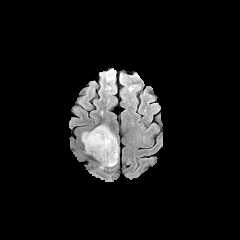
FLAIR MR image.
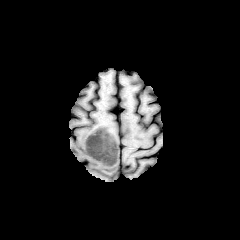
Same slice, T1-weighted magnetic resonance.
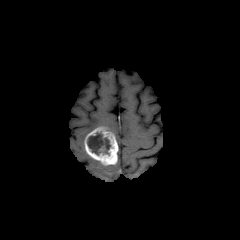
Post-contrast T1-weighted MRI.
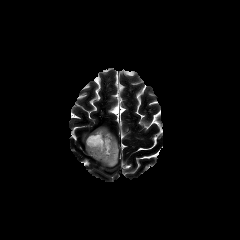
Same slice, T2-weighted MR image.
Brain; Axial view
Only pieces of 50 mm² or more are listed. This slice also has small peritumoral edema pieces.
{"enhancing_tumor": ["left=84, top=127, right=118, bottom=165"], "necrotic_tumor_core": ["left=87, top=132, right=110, bottom=154"]}